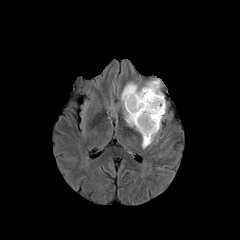
FLAIR MR.
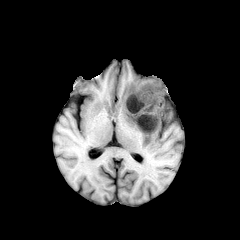
T1-weighted magnetic resonance.
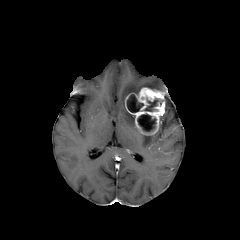
Same slice, post-contrast T1-weighted magnetic resonance.
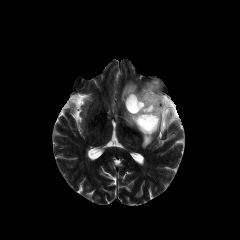
T2-weighted MRI.
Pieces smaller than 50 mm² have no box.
Findings:
- enhancing tumor: 125:87:165:135
- peritumoral edema: 141:132:157:148, 121:82:139:127, 143:78:161:90
- necrotic tumor core: 145:99:158:111, 127:95:143:112, 137:114:155:131